Head, Axial view, Slice 44 of 155
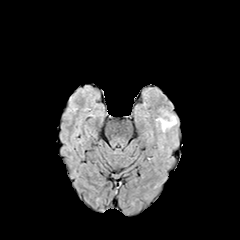
FLAIR magnetic resonance.
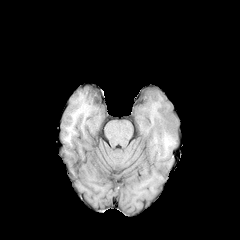
Same slice, T1-weighted magnetic resonance.
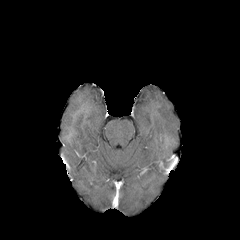
Post-contrast T1-weighted MRI.
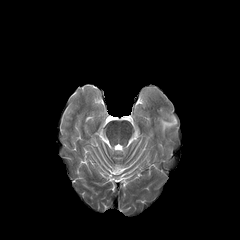
T2-weighted MRI.
peritumoral edema: bounding box 156 110 177 133